FLAIR MR image.
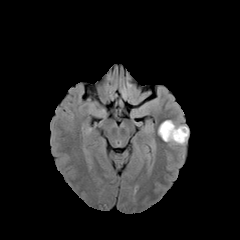
T1-weighted MR.
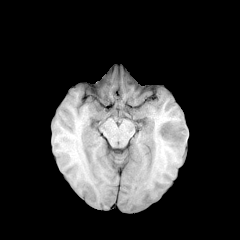
Post-contrast T1-weighted MR.
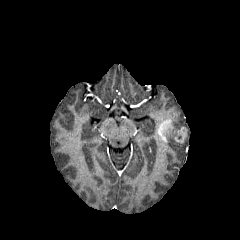
T2-weighted magnetic resonance.
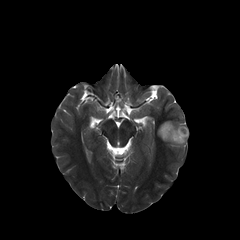
Head; Axial view
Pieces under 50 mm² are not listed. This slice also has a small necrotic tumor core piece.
enhancing tumor at (174, 127, 186, 142), (158, 120, 173, 141)
peritumoral edema at (166, 121, 188, 145)